FLAIR MR image.
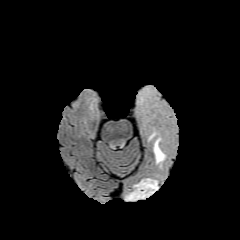
T1-weighted MR image.
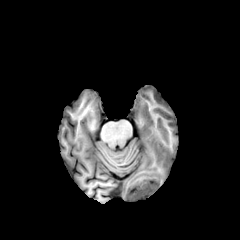
Post-contrast T1-weighted MR image.
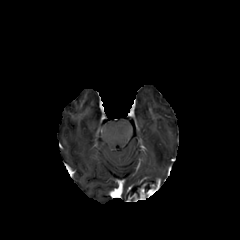
T2-weighted MRI.
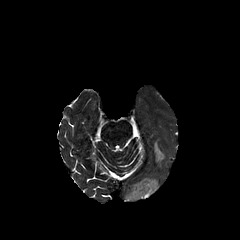
Axial slice
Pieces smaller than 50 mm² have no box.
The largest peritumoral edema region is at [x1=153, y1=138, x2=164, y2=166]. The largest enhancing tumor region lies within [x1=127, y1=179, x2=160, y2=201]. The necrotic tumor core appears at [x1=128, y1=178, x2=155, y2=197].